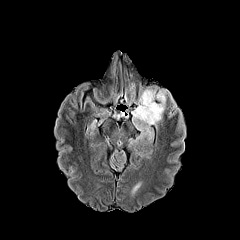
FLAIR MR.
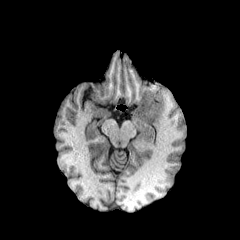
T1-weighted MRI.
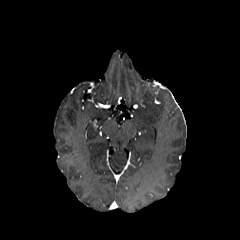
Same slice, post-contrast T1-weighted MR.
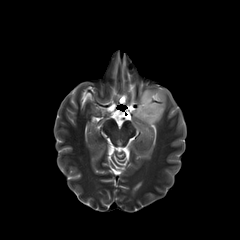
T2-weighted MR image.
Brain.
{"peritumoral_edema": ["x1=132, y1=89, x2=166, y2=141"]}